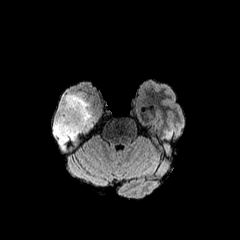
FLAIR MRI.
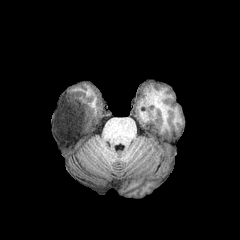
T1-weighted MR image.
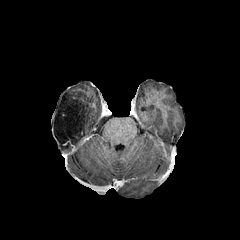
Post-contrast T1-weighted MRI.
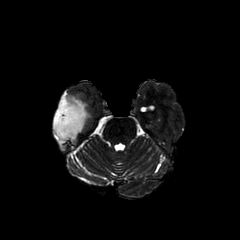
Same slice, T2-weighted MR.
peritumoral edema: bounding box 53,94,91,149